Axial view, Brain, Image covers 240 mm x 240 mm
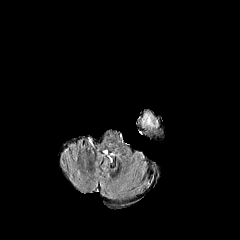
FLAIR magnetic resonance.
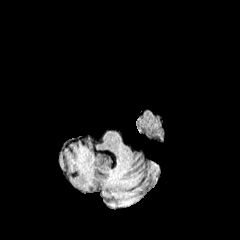
T1-weighted magnetic resonance.
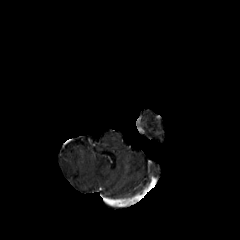
Post-contrast T1-weighted MR.
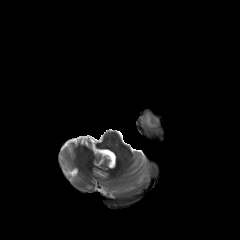
T2-weighted MR of the same slice.
peritumoral_edema:
  - 145 114 153 126